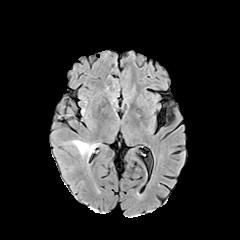
FLAIR MR.
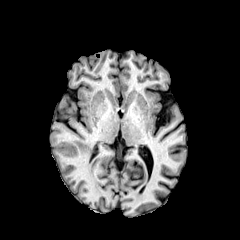
Same slice, T1-weighted MR.
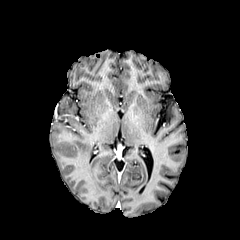
Same slice, post-contrast T1-weighted MRI.
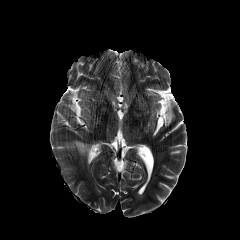
T2-weighted MR of the same slice.
240x240 px. Axial view.
Segmented structures:
• peritumoral edema: [73, 140, 95, 156]